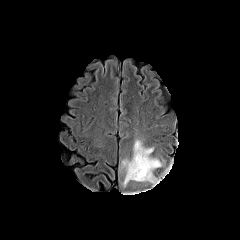
FLAIR MRI.
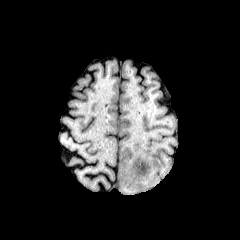
T1-weighted MRI.
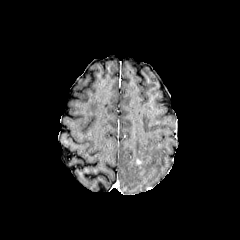
Post-contrast T1-weighted magnetic resonance of the same slice.
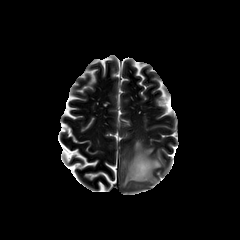
T2-weighted MR image.
Head.
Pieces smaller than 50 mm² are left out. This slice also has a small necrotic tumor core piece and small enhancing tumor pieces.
The largest peritumoral edema region is located at (x1=121, y1=139, x2=162, y2=186).